FLAIR magnetic resonance.
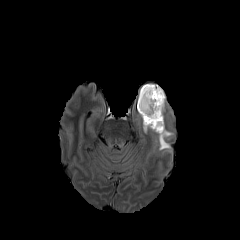
T1-weighted magnetic resonance.
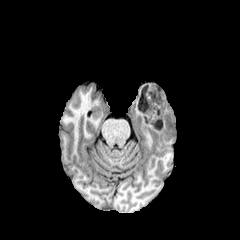
Post-contrast T1-weighted MR image.
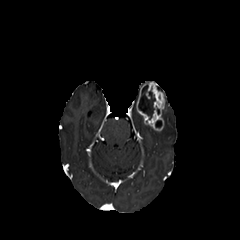
T2-weighted MR image.
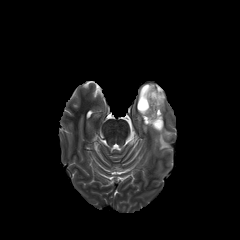
Axial plane. Head.
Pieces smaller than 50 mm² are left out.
The enhancing tumor is at (136, 82, 165, 131). The largest necrotic tumor core region is bounded by (138, 85, 155, 118). The largest peritumoral edema region lies within (143, 119, 173, 152).